Head | Slice 90/155 | Image width 240 mm
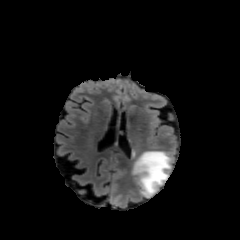
FLAIR MR image.
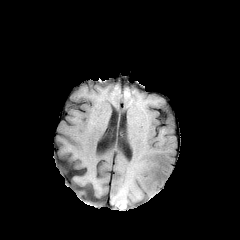
Same slice, T1-weighted MR image.
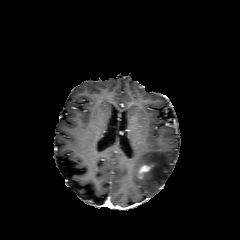
Post-contrast T1-weighted magnetic resonance.
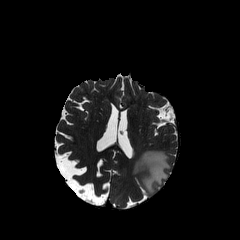
T2-weighted magnetic resonance.
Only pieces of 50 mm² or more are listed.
peritumoral_edema:
  - <bbox>132, 150, 172, 197</bbox>
enhancing_tumor:
  - <bbox>140, 165, 150, 172</bbox>